FLAIR magnetic resonance.
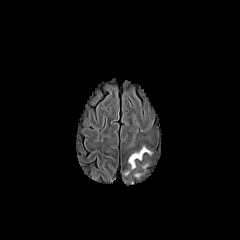
T1-weighted MR image.
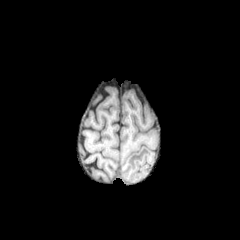
Post-contrast T1-weighted MRI.
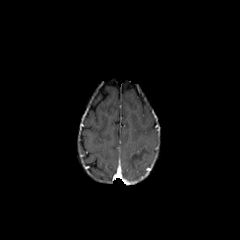
T2-weighted MR image.
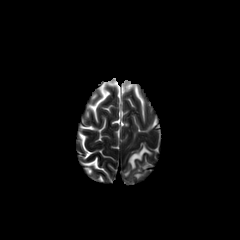
Axial plane
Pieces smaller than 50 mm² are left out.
Annotated regions:
- peritumoral edema: l=128, t=147, r=150, b=168